Axial slice
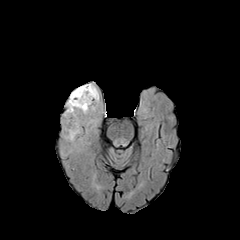
FLAIR MR.
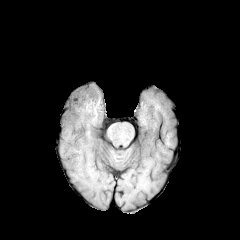
T1-weighted magnetic resonance of the same slice.
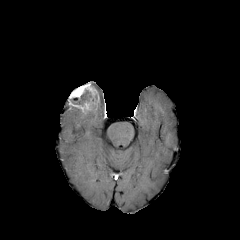
Same slice, post-contrast T1-weighted MRI.
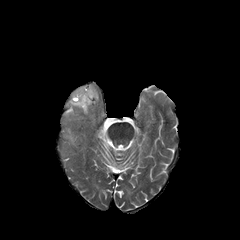
T2-weighted magnetic resonance.
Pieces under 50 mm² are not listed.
enhancing tumor: bounding box (68,83,99,113)
necrotic tumor core: bounding box (73,91,91,104)
peritumoral edema: bounding box (69,130,75,140), (65,107,75,115)